Brain; Slice 69 of 155; Axial slice
FLAIR MR image.
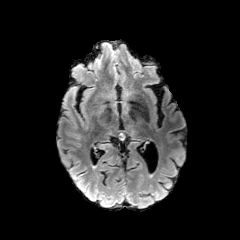
T1-weighted MR.
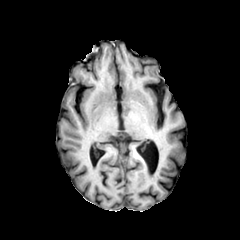
Post-contrast T1-weighted magnetic resonance.
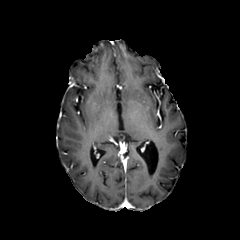
T2-weighted magnetic resonance.
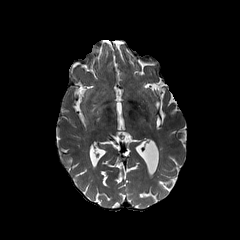
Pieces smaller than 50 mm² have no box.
Findings:
* peritumoral edema: (left=96, top=143, right=110, bottom=149)